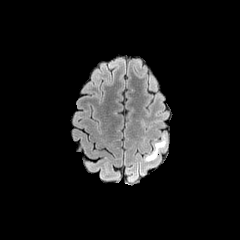
FLAIR magnetic resonance.
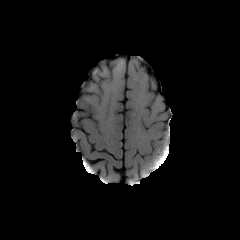
T1-weighted MR image.
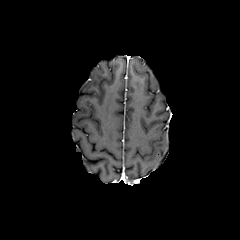
Same slice, post-contrast T1-weighted magnetic resonance.
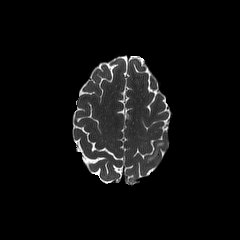
T2-weighted magnetic resonance.
The peritumoral edema is bounded by 146:140:164:160.